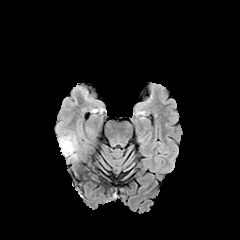
FLAIR magnetic resonance.
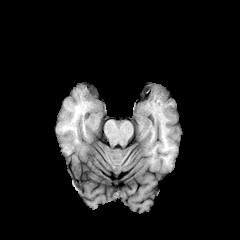
T1-weighted MR of the same slice.
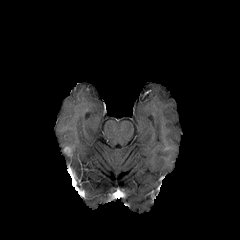
Post-contrast T1-weighted magnetic resonance.
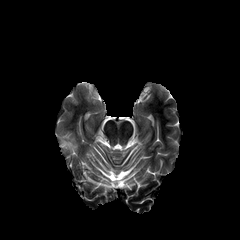
T2-weighted MR image.
240x240 | Brain
<segmentation>
  <enhancing_tumor>{"x1": 64, "y1": 146, "x2": 72, "y2": 155}</enhancing_tumor>
  <peritumoral_edema>{"x1": 59, "y1": 135, "x2": 78, "y2": 160}</peritumoral_edema>
</segmentation>